Head.
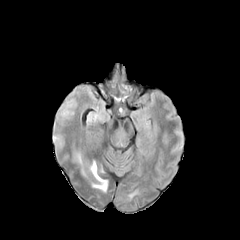
FLAIR magnetic resonance.
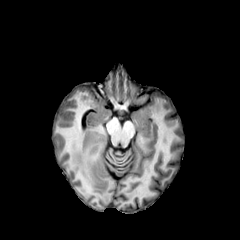
T1-weighted MRI.
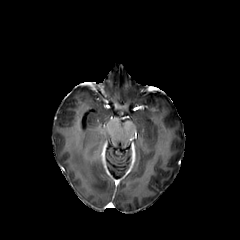
Post-contrast T1-weighted MR image.
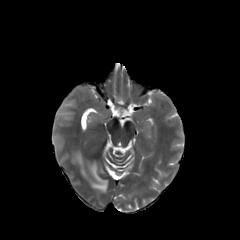
T2-weighted MR image of the same slice.
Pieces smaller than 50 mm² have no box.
<segmentation>
  <peritumoral_edema>rect(75, 152, 87, 177); rect(89, 162, 107, 191)</peritumoral_edema>
</segmentation>